FLAIR magnetic resonance.
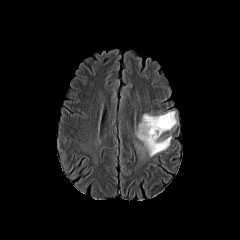
T1-weighted MR image.
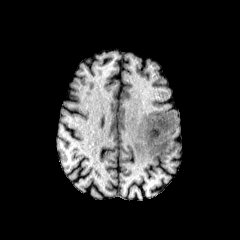
Post-contrast T1-weighted MR.
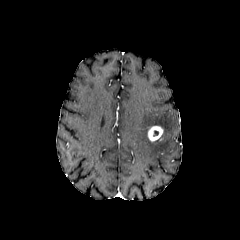
T2-weighted magnetic resonance.
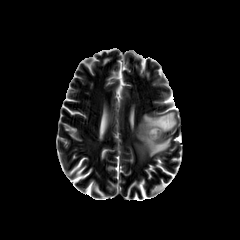
Head
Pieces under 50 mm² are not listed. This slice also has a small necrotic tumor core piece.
peritumoral edema — (135, 111, 177, 156)
enhancing tumor — (147, 126, 163, 141)